FLAIR MR image.
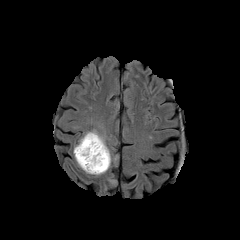
T1-weighted MR.
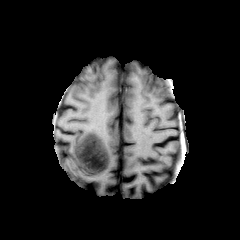
Post-contrast T1-weighted magnetic resonance.
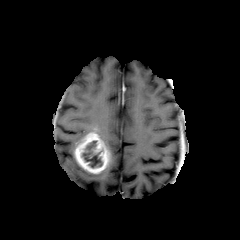
T2-weighted MR.
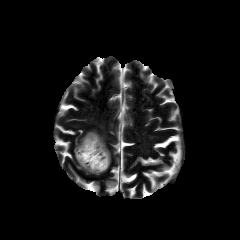
Axial slice
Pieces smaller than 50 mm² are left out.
The necrotic tumor core is located at left=82, top=141, right=102, bottom=167. The enhancing tumor lies within left=74, top=132, right=110, bottom=173. The largest peritumoral edema region is bounded by left=78, top=129, right=105, bottom=144.